Head, Axial plane
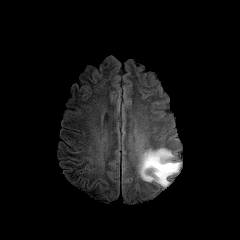
FLAIR MR image.
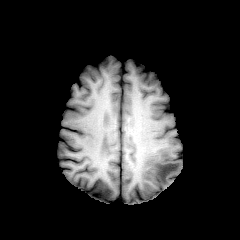
T1-weighted magnetic resonance.
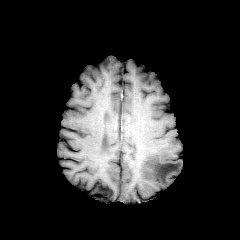
Post-contrast T1-weighted magnetic resonance.
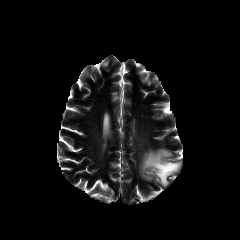
T2-weighted MRI of the same slice.
Annotated regions:
- peritumoral edema: [140,148,181,186]